FLAIR magnetic resonance.
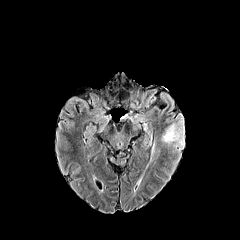
T1-weighted magnetic resonance.
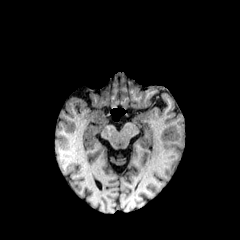
Post-contrast T1-weighted MR image.
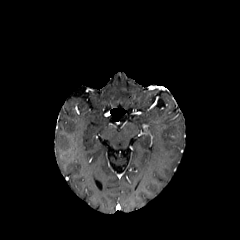
T2-weighted MRI.
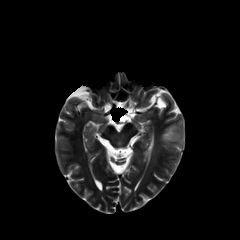
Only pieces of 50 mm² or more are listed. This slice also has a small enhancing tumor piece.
peritumoral edema = 161:117:184:150